FLAIR MR.
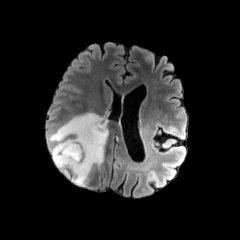
T1-weighted magnetic resonance.
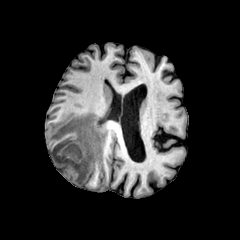
Post-contrast T1-weighted MR.
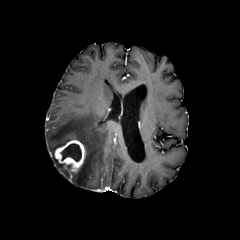
T2-weighted MRI.
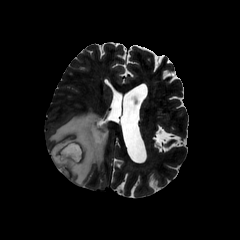
Brain
enhancing_tumor:
  - x1=54 y1=140 x2=85 y2=172
peritumoral_edema:
  - x1=48 y1=112 x2=108 y2=185
necrotic_tumor_core:
  - x1=61 y1=143 x2=81 y2=161